FLAIR magnetic resonance.
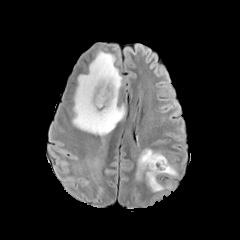
T1-weighted MR.
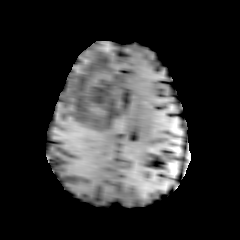
Post-contrast T1-weighted MR image.
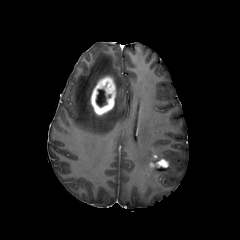
T2-weighted MR.
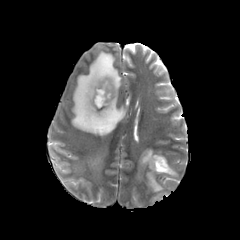
240x240 px
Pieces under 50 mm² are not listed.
The 2 largest enhancing tumor regions appear at (90,76,116,115), (148,158,168,168). 3 peritumoral edema regions appear at (146,162,177,191), (136,149,167,182), (73,51,125,135). The largest necrotic tumor core region is located at (96,90,106,106).